Axial plane. Brain.
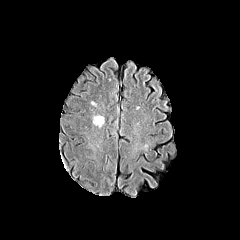
FLAIR MRI.
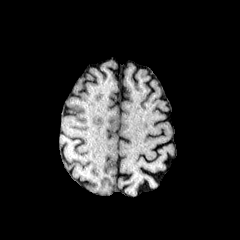
T1-weighted MR of the same slice.
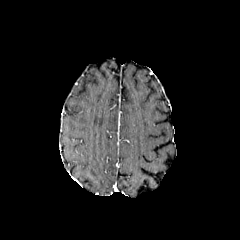
Post-contrast T1-weighted MR image of the same slice.
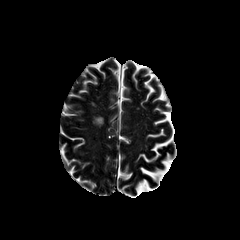
T2-weighted MR image of the same slice.
peritumoral edema — box(95, 117, 103, 124)